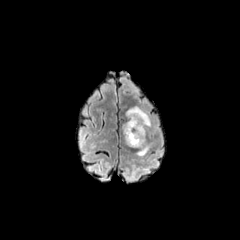
FLAIR MR.
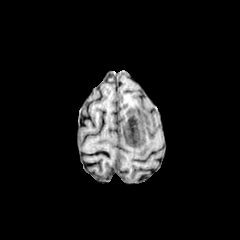
Same slice, T1-weighted MRI.
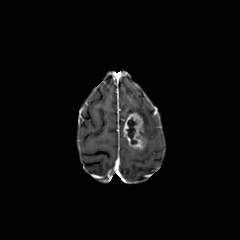
Post-contrast T1-weighted MR image of the same slice.
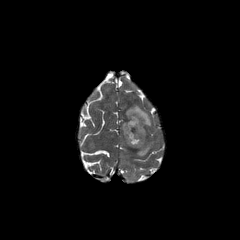
T2-weighted MRI of the same slice.
Head | 240x240
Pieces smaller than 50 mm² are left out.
enhancing tumor — (x1=123, y1=112, x2=146, y2=149)
peritumoral edema — (x1=125, y1=106, x2=151, y2=139), (x1=137, y1=142, x2=150, y2=156)
necrotic tumor core — (x1=127, y1=117, x2=137, y2=144)